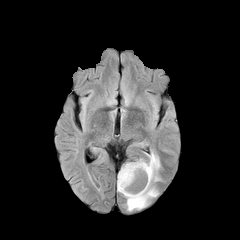
FLAIR magnetic resonance.
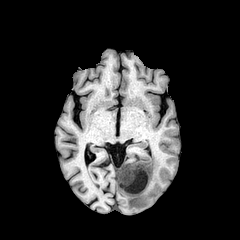
T1-weighted MRI of the same slice.
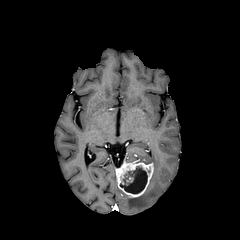
Post-contrast T1-weighted MR.
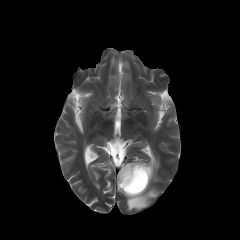
Same slice, T2-weighted magnetic resonance.
240x240, Brain
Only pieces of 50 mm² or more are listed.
<segmentation>
  <peritumoral_edema><bbox>117, 152, 160, 211</bbox></peritumoral_edema>
  <necrotic_tumor_core><bbox>120, 166, 147, 193</bbox></necrotic_tumor_core>
  <enhancing_tumor><bbox>117, 160, 153, 197</bbox></enhancing_tumor>
</segmentation>